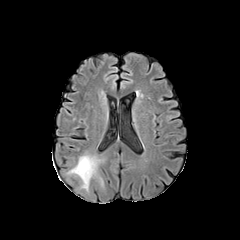
FLAIR MR image.
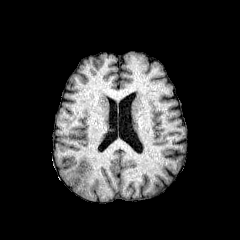
T1-weighted MR.
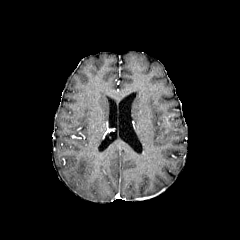
Post-contrast T1-weighted MR image.
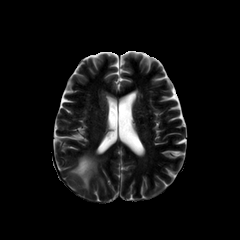
T2-weighted magnetic resonance of the same slice.
Head
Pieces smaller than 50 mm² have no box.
peritumoral edema: bounding box (x1=69, y1=154, x2=97, y2=187)